FLAIR magnetic resonance.
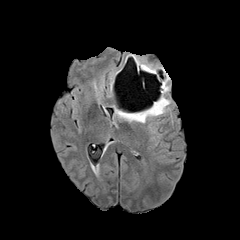
T1-weighted MR image.
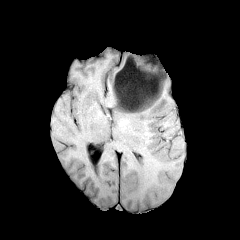
Post-contrast T1-weighted magnetic resonance.
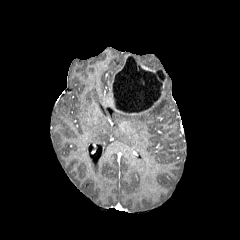
T2-weighted MRI.
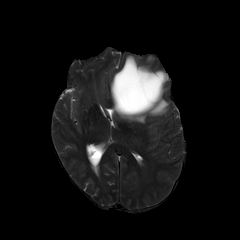
Brain. 240x240 px. Axial view.
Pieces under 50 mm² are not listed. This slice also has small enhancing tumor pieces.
peritumoral edema: bounding box [117,96,169,123]
necrotic tumor core: bounding box [113,55,166,113]